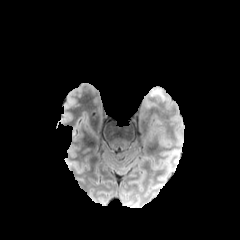
FLAIR MR.
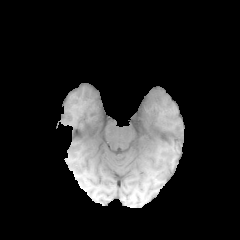
Same slice, T1-weighted magnetic resonance.
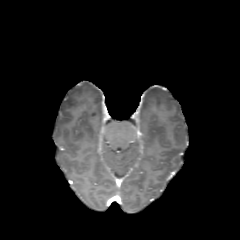
Post-contrast T1-weighted MR.
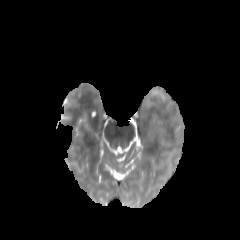
Same slice, T2-weighted MR image.
240x240 px.
peritumoral edema: 154,89,168,100